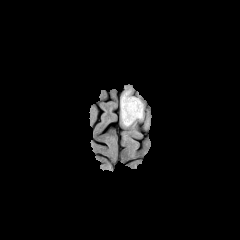
FLAIR MR.
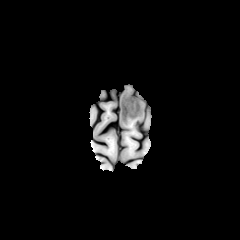
T1-weighted MRI.
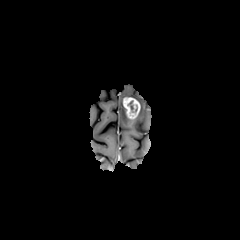
Same slice, post-contrast T1-weighted MR.
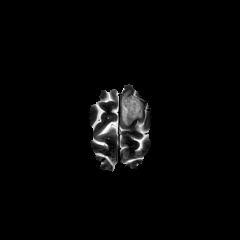
T2-weighted MRI.
Axial plane, Brain, 240x240
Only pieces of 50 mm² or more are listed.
enhancing tumor: l=123, t=97, r=140, b=119 | necrotic tumor core: l=128, t=101, r=137, b=112 | peritumoral edema: l=120, t=90, r=143, b=126